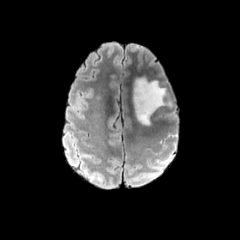
FLAIR MRI.
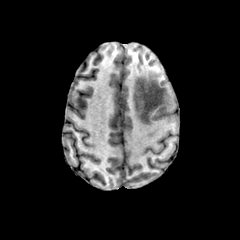
T1-weighted magnetic resonance of the same slice.
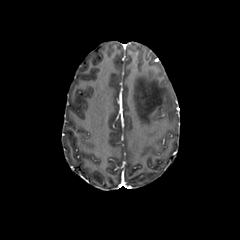
Post-contrast T1-weighted MRI.
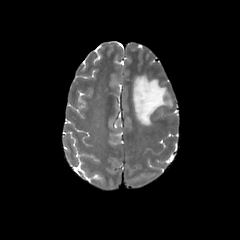
Same slice, T2-weighted MR.
Axial view, Brain
The peritumoral edema is bounded by left=133, top=76, right=172, bottom=125.